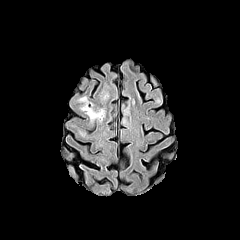
FLAIR MR.
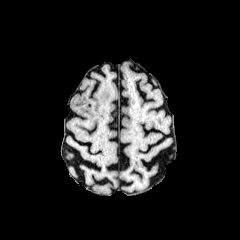
T1-weighted MR image.
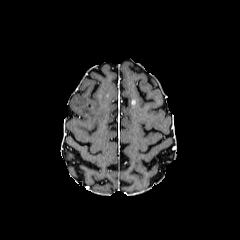
Same slice, post-contrast T1-weighted magnetic resonance.
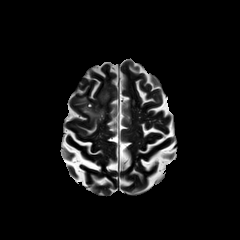
T2-weighted magnetic resonance of the same slice.
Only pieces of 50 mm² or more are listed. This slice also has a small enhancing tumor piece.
peritumoral edema = (79,96,104,121)